FLAIR magnetic resonance.
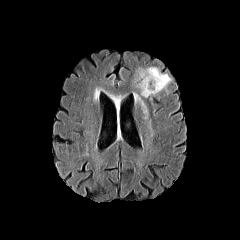
T1-weighted magnetic resonance.
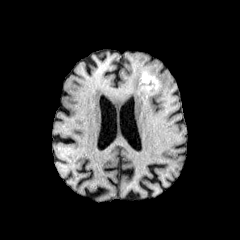
Post-contrast T1-weighted MR.
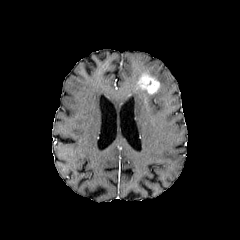
T2-weighted magnetic resonance.
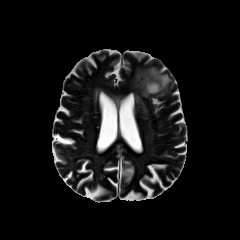
Axial view
enhancing tumor: left=137, top=73, right=159, bottom=94 | peritumoral edema: left=134, top=93, right=146, bottom=112; left=135, top=67, right=171, bottom=97